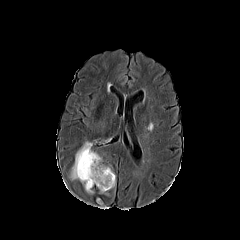
FLAIR MR image.
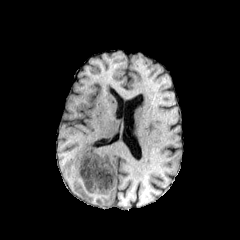
Same slice, T1-weighted magnetic resonance.
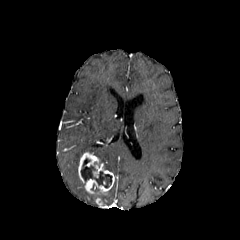
Post-contrast T1-weighted magnetic resonance of the same slice.
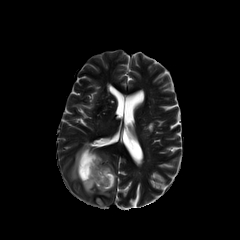
T2-weighted magnetic resonance.
Head.
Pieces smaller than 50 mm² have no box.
The largest enhancing tumor region lies within [x1=78, y1=151, x2=115, y2=193]. The necrotic tumor core appears at [x1=81, y1=158, x2=111, y2=187]. The largest peritumoral edema region is bounded by [x1=70, y1=141, x2=93, y2=179].